FLAIR magnetic resonance.
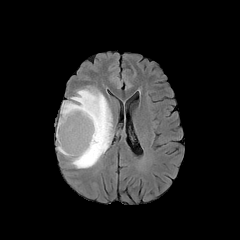
T1-weighted MR.
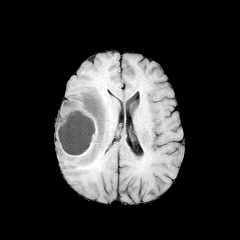
Post-contrast T1-weighted MR image.
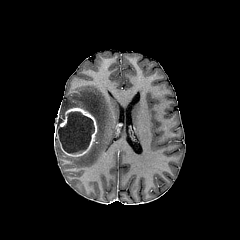
T2-weighted MR image.
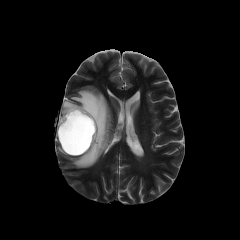
Head; Axial view
peritumoral_edema:
  - 57, 86, 112, 168
necrotic_tumor_core:
  - 58, 111, 94, 153
enhancing_tumor:
  - 56, 107, 97, 156